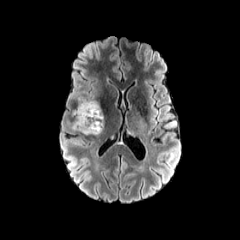
FLAIR MR.
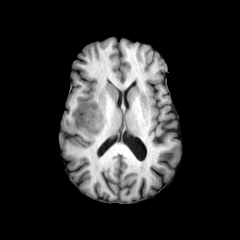
Same slice, T1-weighted MR.
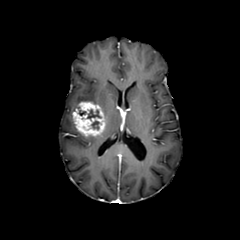
Same slice, post-contrast T1-weighted magnetic resonance.
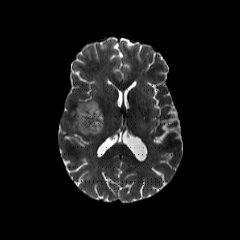
Same slice, T2-weighted MR.
Axial plane, Brain, Image size 240x240
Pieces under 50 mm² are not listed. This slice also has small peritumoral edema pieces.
The 2 largest necrotic tumor core regions are located at box=[87, 109, 101, 119]; box=[91, 120, 99, 129]. The enhancing tumor is bounded by box=[72, 102, 105, 139].